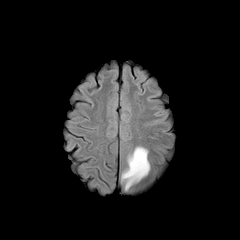
FLAIR MR image.
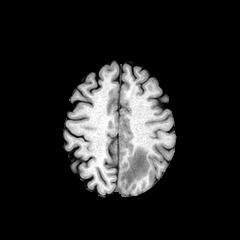
Same slice, T1-weighted magnetic resonance.
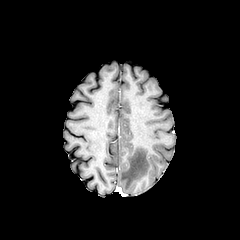
Post-contrast T1-weighted magnetic resonance of the same slice.
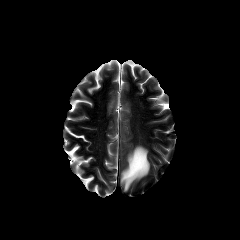
T2-weighted MRI.
Axial plane; Image size 240x240; Head
The peritumoral edema appears at (121, 146, 149, 190).